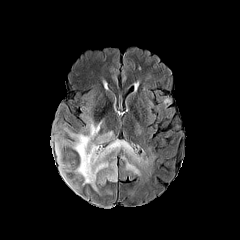
FLAIR MR image.
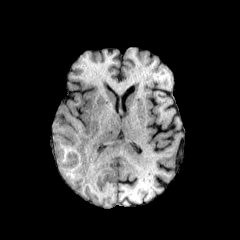
T1-weighted MRI of the same slice.
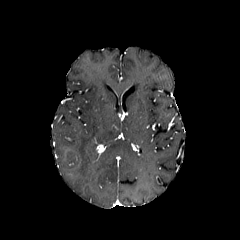
Post-contrast T1-weighted magnetic resonance.
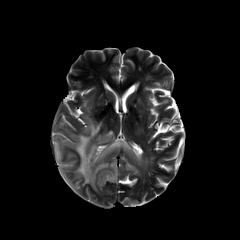
T2-weighted MR of the same slice.
Brain
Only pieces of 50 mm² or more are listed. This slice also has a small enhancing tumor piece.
peritumoral edema: 55 99 148 194, 100 162 117 183, 122 156 139 174, 97 131 113 143